Slice 66/155. Axial slice.
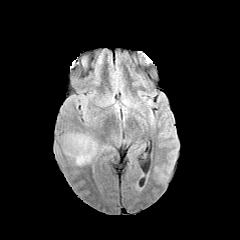
FLAIR MR image.
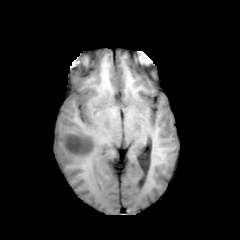
T1-weighted MRI.
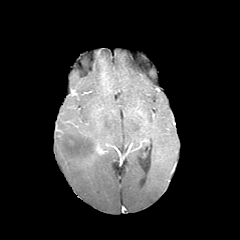
Post-contrast T1-weighted MRI.
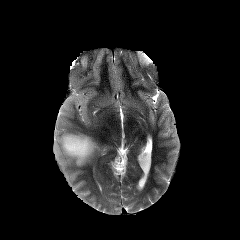
T2-weighted MRI.
peritumoral edema = bbox(63, 134, 96, 165)